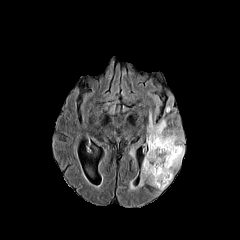
FLAIR MR image.
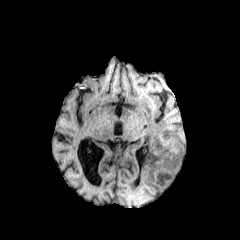
T1-weighted MRI.
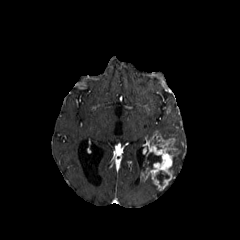
Post-contrast T1-weighted MRI.
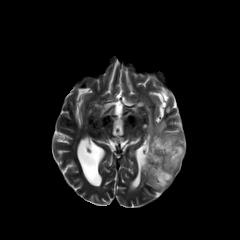
Same slice, T2-weighted MR.
Brain, 240x240, Axial view
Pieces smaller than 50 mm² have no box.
Annotated regions:
- enhancing tumor: box=[141, 130, 178, 190]
- peritumoral edema: box=[147, 115, 184, 177]; box=[141, 153, 146, 171]
- necrotic tumor core: box=[155, 171, 169, 185]; box=[146, 153, 161, 168]